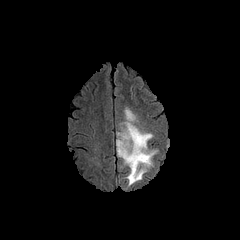
FLAIR MR.
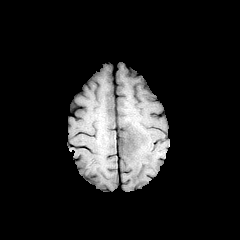
T1-weighted magnetic resonance.
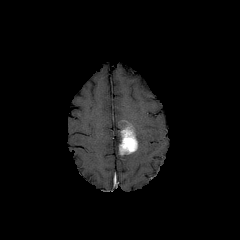
Same slice, post-contrast T1-weighted MR image.
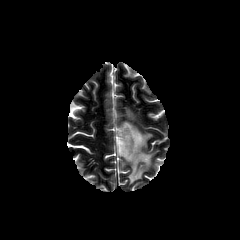
T2-weighted magnetic resonance of the same slice.
Axial view | 240x240 px
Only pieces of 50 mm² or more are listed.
peritumoral edema: <bbox>116, 107, 158, 186</bbox> | enhancing tumor: <bbox>119, 122, 138, 155</bbox>